FLAIR MR image.
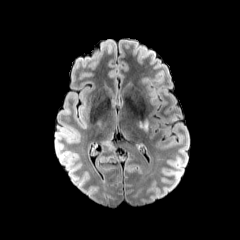
T1-weighted MR image.
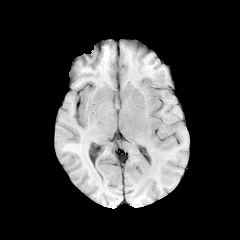
Post-contrast T1-weighted MR image.
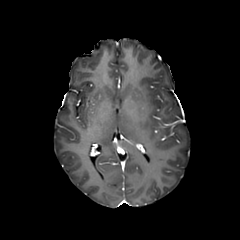
T2-weighted MR.
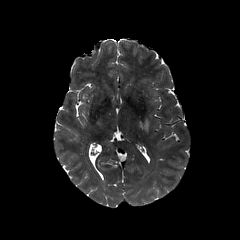
240x240 px; Axial view
{"peritumoral_edema": ["box(139, 119, 148, 130)"]}